Axial view | Brain | Image width 240 mm | Slice index 76
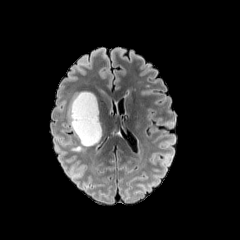
FLAIR magnetic resonance.
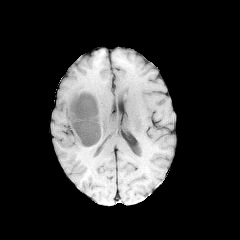
Same slice, T1-weighted MR.
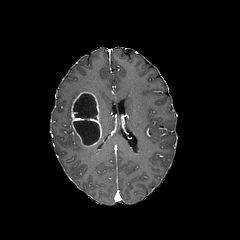
Same slice, post-contrast T1-weighted MR image.
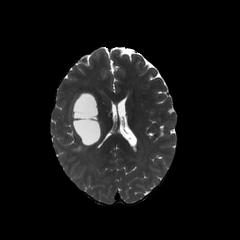
T2-weighted MR image.
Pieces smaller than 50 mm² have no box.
enhancing tumor: 71, 91, 101, 146 | necrotic tumor core: 73, 94, 97, 119; 74, 121, 99, 145 | peritumoral edema: 72, 144, 83, 151; 68, 100, 72, 126